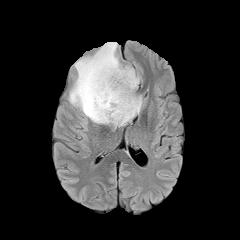
FLAIR MR image.
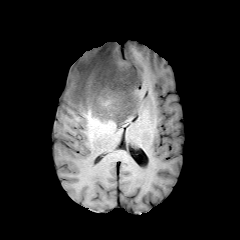
T1-weighted MR image of the same slice.
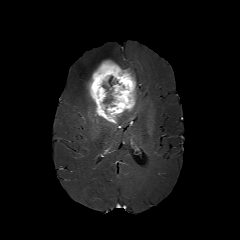
Same slice, post-contrast T1-weighted MR.
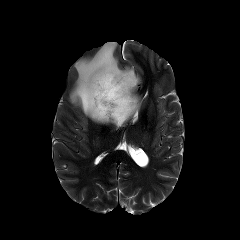
Same slice, T2-weighted magnetic resonance.
Brain; 240x240 px; Axial slice
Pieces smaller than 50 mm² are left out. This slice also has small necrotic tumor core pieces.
Findings:
* enhancing tumor: 87:59:136:124
* peritumoral edema: 68:42:139:124, 113:93:142:127